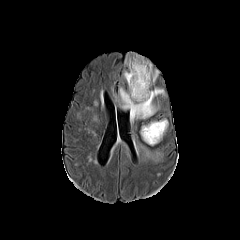
FLAIR magnetic resonance.
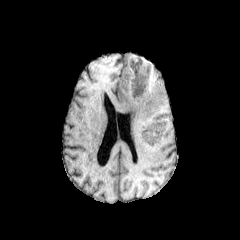
T1-weighted MRI.
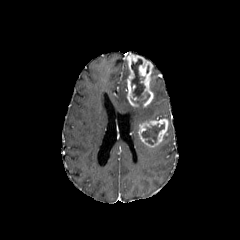
Post-contrast T1-weighted MRI.
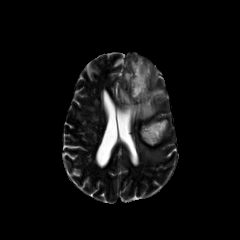
T2-weighted MR of the same slice.
Axial plane. Image size 240x240.
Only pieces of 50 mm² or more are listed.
necrotic_tumor_core:
  - left=142, top=124, right=164, bottom=144
  - left=131, top=58, right=144, bottom=97
peritumoral_edema:
  - left=136, top=142, right=162, bottom=160
  - left=113, top=87, right=166, bottom=123
enhancing_tumor:
  - left=126, top=53, right=153, bottom=107
  - left=138, top=118, right=168, bottom=146